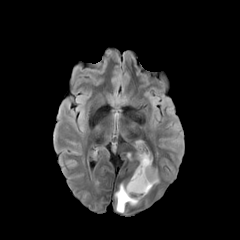
FLAIR MR image.
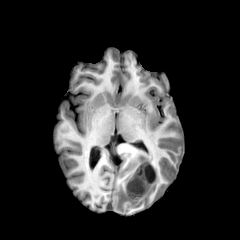
T1-weighted magnetic resonance.
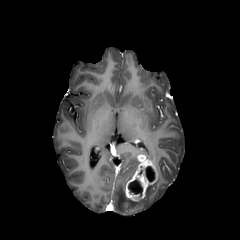
Post-contrast T1-weighted magnetic resonance of the same slice.
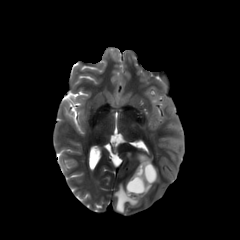
T2-weighted magnetic resonance of the same slice.
Head
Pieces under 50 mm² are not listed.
<segmentation>
  <necrotic_tumor_core>128 179 142 196, 145 166 155 182</necrotic_tumor_core>
  <enhancing_tumor>125 154 157 201</enhancing_tumor>
  <peritumoral_edema>115 184 138 212</peritumoral_edema>
</segmentation>